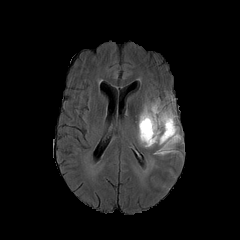
FLAIR MR image.
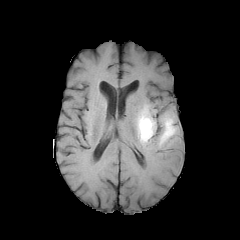
T1-weighted MRI.
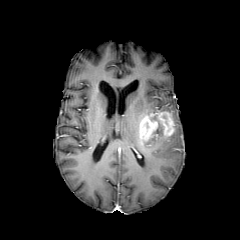
Post-contrast T1-weighted MR.
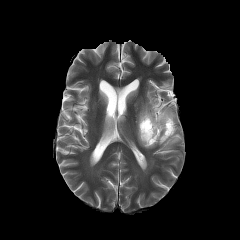
Same slice, T2-weighted MRI.
Axial view
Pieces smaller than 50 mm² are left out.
The largest peritumoral edema region is at region(138, 99, 181, 155). The enhancing tumor is located at region(139, 110, 174, 142).